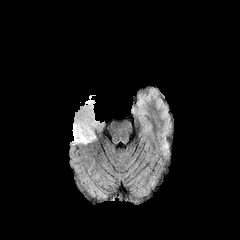
FLAIR magnetic resonance.
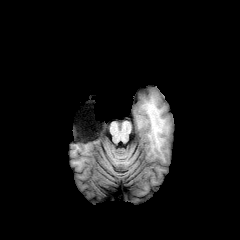
T1-weighted MRI.
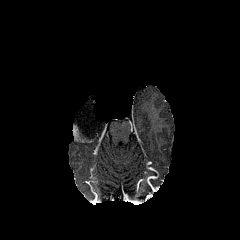
Post-contrast T1-weighted magnetic resonance of the same slice.
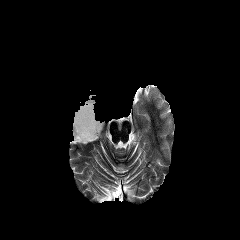
T2-weighted MRI.
Axial plane; Head
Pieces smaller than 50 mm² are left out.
• enhancing tumor: x1=72 y1=125 x2=91 y2=142
• peritumoral edema: x1=73 y1=96 x2=102 y2=141